Axial view, Brain, Image width 240 mm, 1.00 mm slice spacing, 240x240
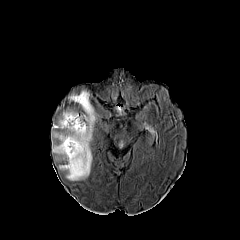
FLAIR MR image.
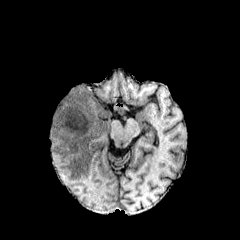
T1-weighted magnetic resonance.
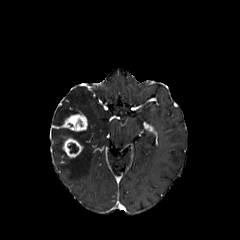
Post-contrast T1-weighted MRI.
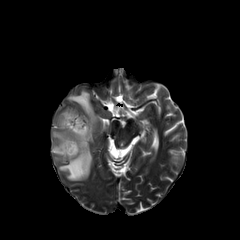
T2-weighted MRI of the same slice.
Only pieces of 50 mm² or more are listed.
Annotated regions:
- peritumoral edema: bbox(52, 90, 96, 180); bbox(58, 112, 75, 124)
- enhancing tumor: bbox(61, 112, 86, 131); bbox(61, 135, 83, 158)
- necrotic tumor core: bbox(67, 143, 78, 153)